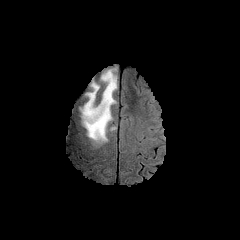
FLAIR MR image.
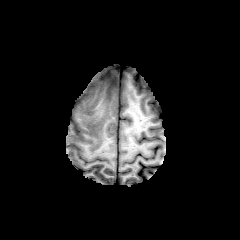
T1-weighted MRI.
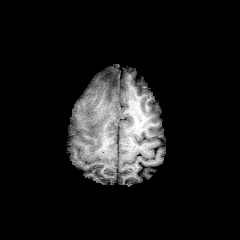
Post-contrast T1-weighted magnetic resonance of the same slice.
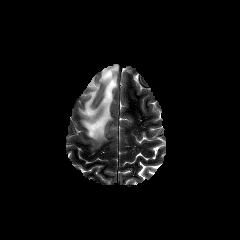
T2-weighted MRI of the same slice.
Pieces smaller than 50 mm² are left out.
The largest peritumoral edema region is at box(81, 67, 117, 141).